Axial view. Slice index 68. Brain. Image size 240x240.
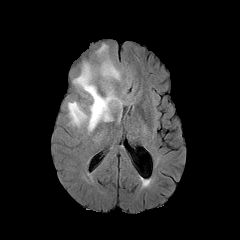
FLAIR MRI.
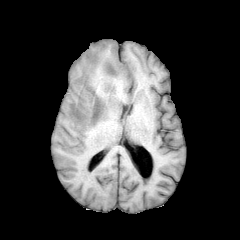
T1-weighted MR.
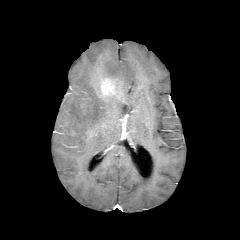
Post-contrast T1-weighted MRI of the same slice.
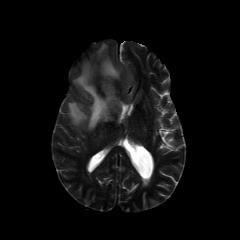
Same slice, T2-weighted MR image.
3 peritumoral edema regions are bounded by 97 44 106 54, 67 63 122 131, 100 58 120 80. The enhancing tumor is at 100 78 114 96.